FLAIR magnetic resonance.
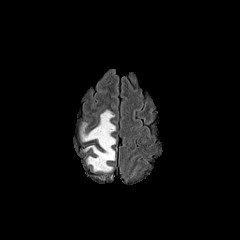
T1-weighted magnetic resonance.
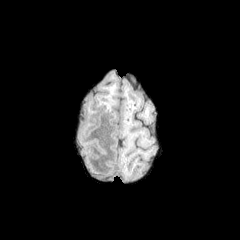
Post-contrast T1-weighted MRI.
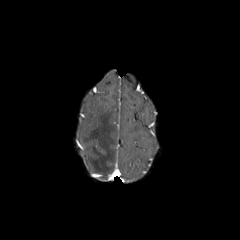
T2-weighted MR.
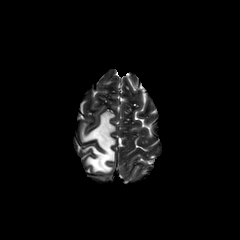
Axial plane. Brain.
Annotated regions:
• peritumoral edema: <box>81,110,115,172</box>